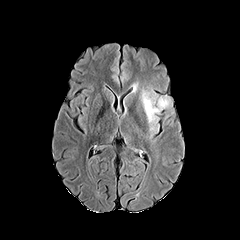
FLAIR magnetic resonance.
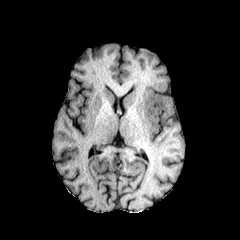
T1-weighted magnetic resonance of the same slice.
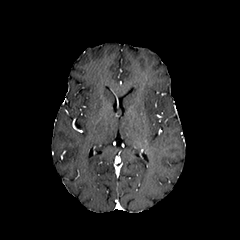
Post-contrast T1-weighted MR image of the same slice.
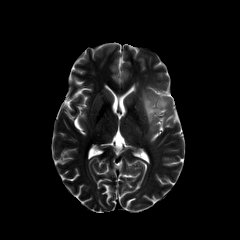
T2-weighted MRI of the same slice.
Image size 240x240
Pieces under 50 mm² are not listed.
peritumoral edema: (142, 91, 168, 124)